FLAIR MR image.
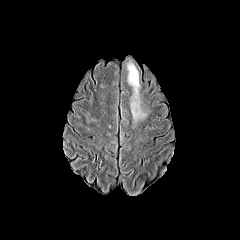
T1-weighted MR image.
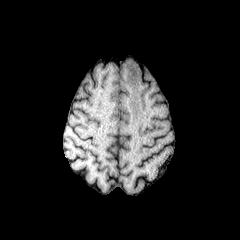
Post-contrast T1-weighted MR image.
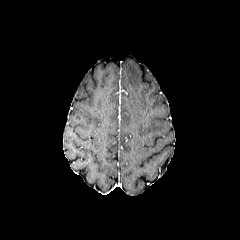
T2-weighted magnetic resonance.
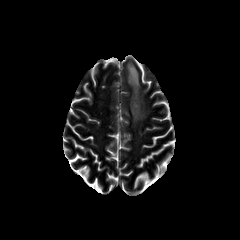
Axial plane. 240x240 px.
peritumoral edema: x1=127, y1=62, x2=145, y2=121